FLAIR MR image.
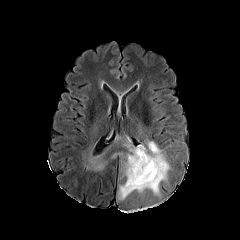
T1-weighted MRI.
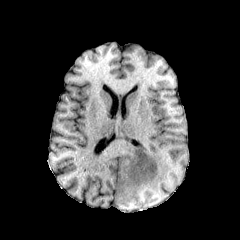
Post-contrast T1-weighted MR image.
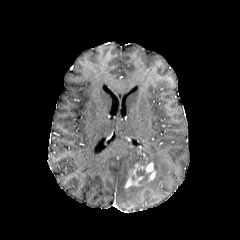
T2-weighted MR image.
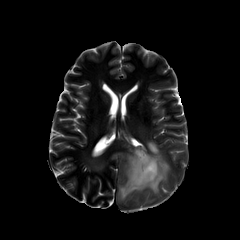
Brain | 240x240 px
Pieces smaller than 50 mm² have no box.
enhancing_tumor:
  - (125, 162, 155, 187)
necrotic_tumor_core:
  - (136, 169, 150, 184)
  - (136, 153, 152, 166)
peritumoral_edema:
  - (118, 141, 170, 200)